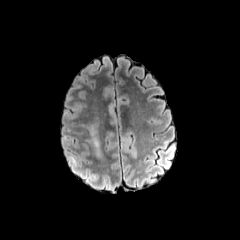
FLAIR MR.
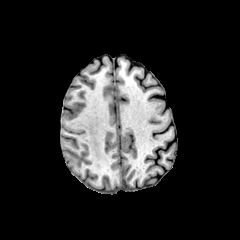
Same slice, T1-weighted magnetic resonance.
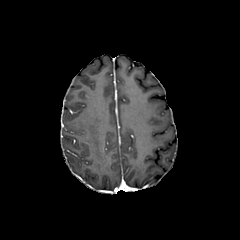
Post-contrast T1-weighted MR image.
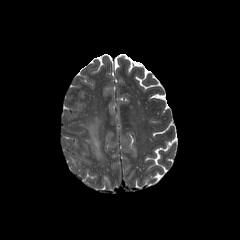
T2-weighted magnetic resonance.
Head.
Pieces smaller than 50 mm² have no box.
The largest peritumoral edema region appears at 88,125,100,156.